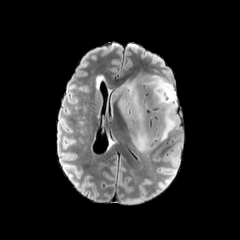
FLAIR MR image.
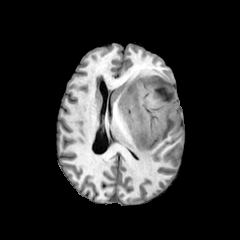
T1-weighted MR image of the same slice.
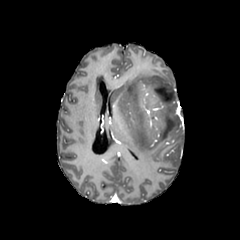
Post-contrast T1-weighted MR image.
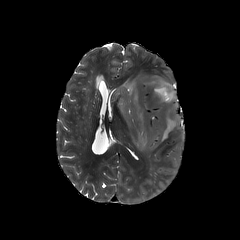
Same slice, T2-weighted MR.
Brain; 240x240
Annotated regions:
* peritumoral edema: bbox=[112, 73, 179, 152]